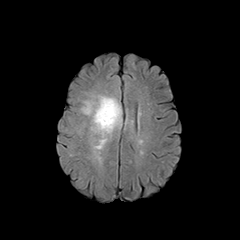
FLAIR MR.
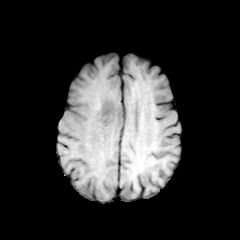
Same slice, T1-weighted MRI.
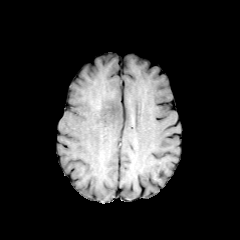
Same slice, post-contrast T1-weighted MR image.
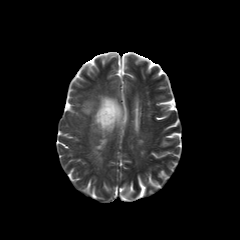
Same slice, T2-weighted MR.
Head
peritumoral edema: <box>80,94,122,149</box>